FLAIR MR image.
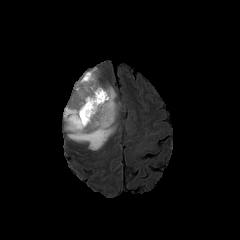
T1-weighted magnetic resonance.
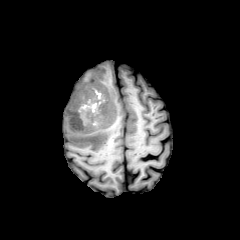
Post-contrast T1-weighted MR image.
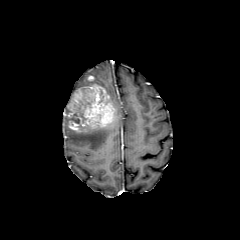
T2-weighted MRI.
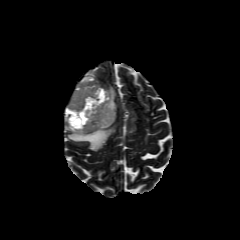
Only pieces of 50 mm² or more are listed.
enhancing tumor = l=64, t=84, r=116, b=132
necrotic tumor core = l=78, t=106, r=85, b=122; l=67, t=113, r=79, b=123
peritumoral edema = l=80, t=68, r=97, b=80; l=105, t=86, r=117, b=113; l=64, t=116, r=115, b=150; l=75, t=82, r=98, b=90